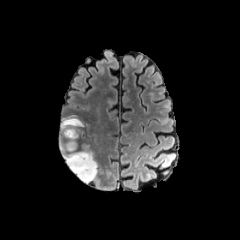
FLAIR MRI.
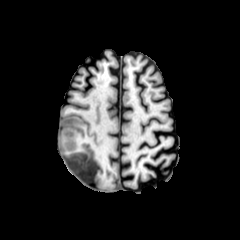
T1-weighted magnetic resonance.
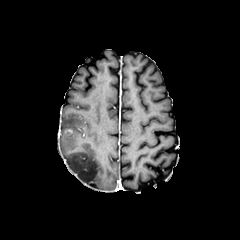
Post-contrast T1-weighted magnetic resonance of the same slice.
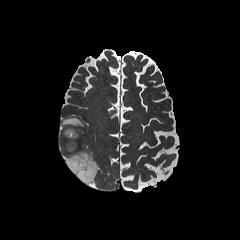
T2-weighted MR.
Axial view, Image size 240x240
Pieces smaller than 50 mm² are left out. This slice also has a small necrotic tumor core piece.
The enhancing tumor is bounded by x1=60, y1=127, x2=81, y2=152. 2 peritumoral edema regions are bounded by x1=60, y1=115, x2=85, y2=137; x1=60, y1=141, x2=97, y2=182.